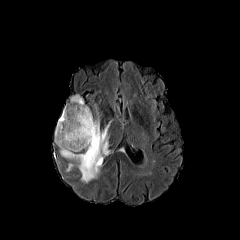
FLAIR MR.
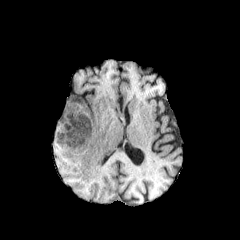
T1-weighted MRI of the same slice.
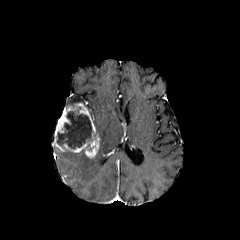
Same slice, post-contrast T1-weighted MRI.
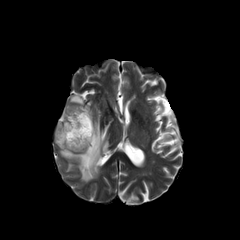
T2-weighted magnetic resonance.
Image size 240x240. Axial plane.
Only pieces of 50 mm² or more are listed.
necrotic tumor core at region(57, 111, 91, 149)
peritumoral edema at region(70, 94, 83, 103); region(59, 117, 110, 182)
enhancing tumor at region(53, 103, 99, 158)